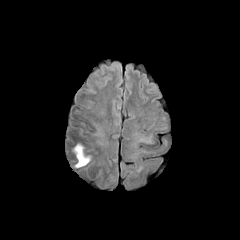
FLAIR magnetic resonance.
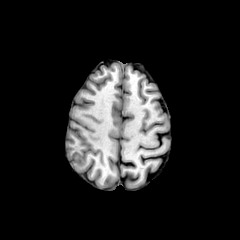
T1-weighted MRI.
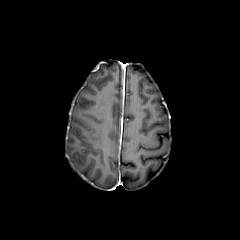
Post-contrast T1-weighted MR image.
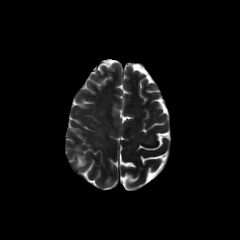
T2-weighted MR image.
Brain
peritumoral edema at l=74, t=145, r=89, b=167